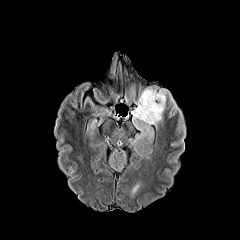
FLAIR MRI.
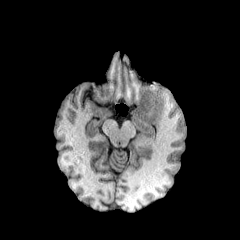
T1-weighted MR image.
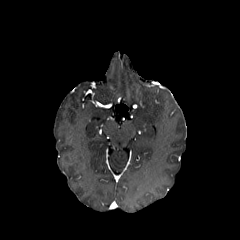
Post-contrast T1-weighted MR image.
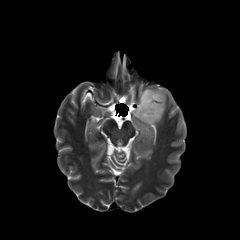
T2-weighted magnetic resonance.
peritumoral edema at rect(132, 88, 167, 139)